Axial slice, Brain, Slice index 118, Image width 240 mm, 240x240
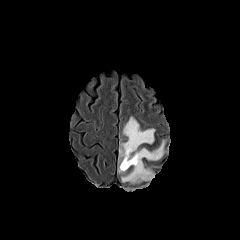
FLAIR MR.
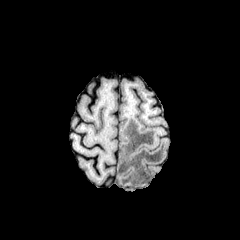
T1-weighted MRI.
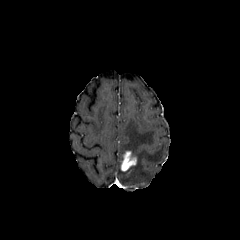
Same slice, post-contrast T1-weighted magnetic resonance.
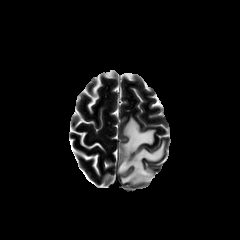
Same slice, T2-weighted MR.
The enhancing tumor is at bbox=[120, 151, 137, 171]. The peritumoral edema appears at bbox=[118, 116, 165, 184].